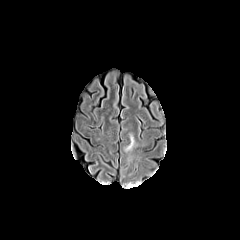
FLAIR MR image.
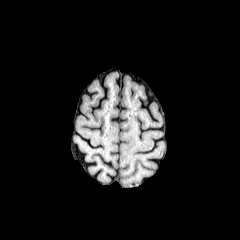
T1-weighted MRI of the same slice.
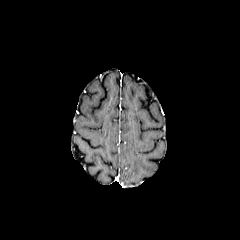
Post-contrast T1-weighted MR of the same slice.
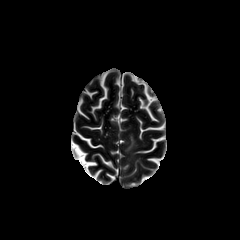
T2-weighted magnetic resonance.
Head, Axial plane
The peritumoral edema is bounded by <bbox>126, 135, 134, 150</bbox>.